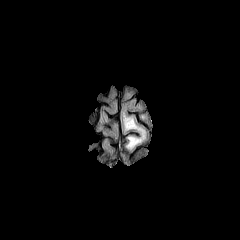
FLAIR magnetic resonance.
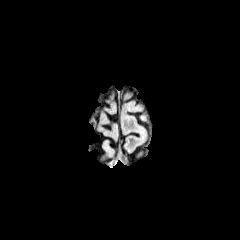
T1-weighted MR.
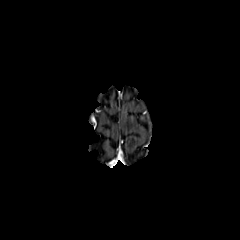
Post-contrast T1-weighted MRI of the same slice.
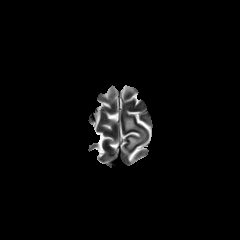
Same slice, T2-weighted magnetic resonance.
Head; Axial plane
The peritumoral edema lies within (124, 115, 145, 149).